240x240 | Slice 70 of 155 | Head | Image covers 240 mm x 240 mm
FLAIR magnetic resonance.
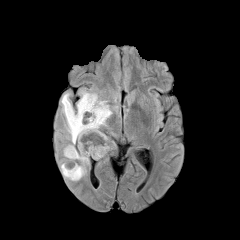
T1-weighted MR.
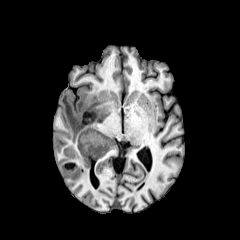
Post-contrast T1-weighted MRI.
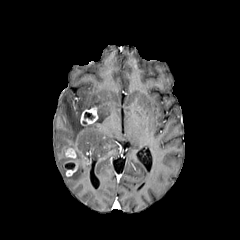
T2-weighted MRI.
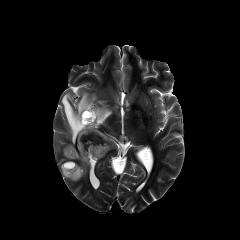
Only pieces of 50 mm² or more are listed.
Segmented structures:
- peritumoral edema: rect(60, 90, 114, 180)
- necrotic tumor core: rect(63, 163, 75, 170); rect(84, 112, 94, 119)
- enhancing tumor: rect(65, 148, 76, 158); rect(64, 161, 77, 176); rect(80, 107, 98, 125)